Slice 64/155
FLAIR MR image.
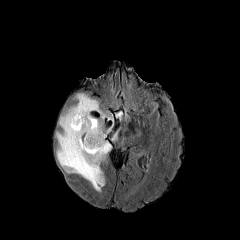
T1-weighted MR image.
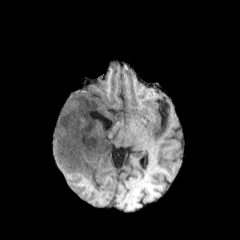
Post-contrast T1-weighted MR.
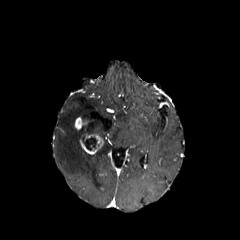
T2-weighted magnetic resonance.
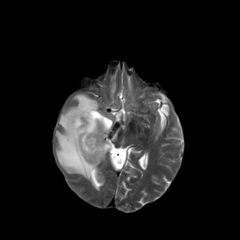
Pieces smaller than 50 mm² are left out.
necrotic_tumor_core:
  - region(82, 134, 97, 150)
enhancing_tumor:
  - region(74, 117, 87, 129)
  - region(80, 134, 103, 154)
peritumoral_edema:
  - region(112, 131, 118, 141)
  - region(56, 93, 112, 191)